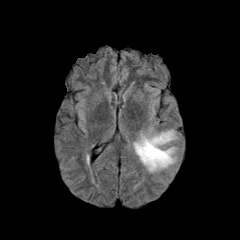
FLAIR magnetic resonance.
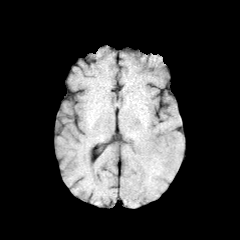
T1-weighted MRI of the same slice.
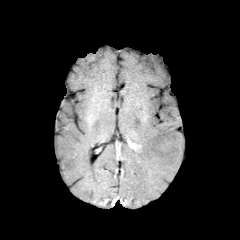
Post-contrast T1-weighted MRI.
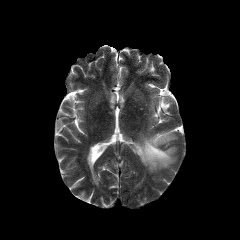
T2-weighted MRI.
Axial plane. Head.
peritumoral edema: x1=135 y1=130 x2=176 y2=171